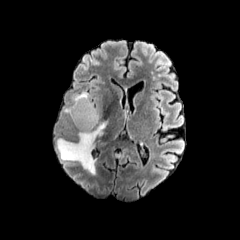
FLAIR MR.
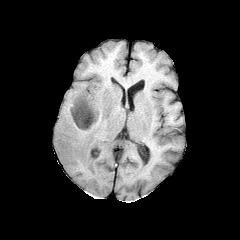
T1-weighted MRI.
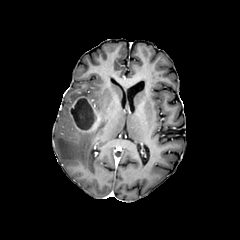
Post-contrast T1-weighted magnetic resonance.
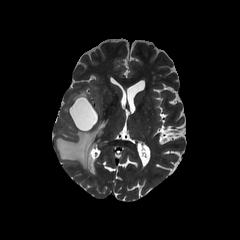
T2-weighted magnetic resonance.
240x240; Brain
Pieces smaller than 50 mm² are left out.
Annotated regions:
* enhancing tumor: (70, 96, 99, 132)
* peritumoral edema: (71, 91, 88, 102), (57, 120, 108, 174)
* necrotic tumor core: (71, 98, 95, 130)